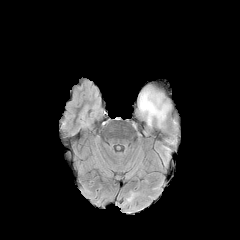
FLAIR MR image.
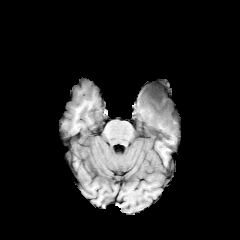
T1-weighted magnetic resonance of the same slice.
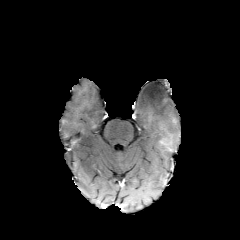
Post-contrast T1-weighted MRI of the same slice.
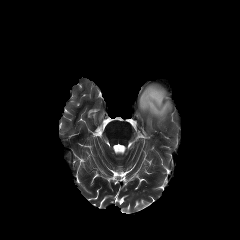
Same slice, T2-weighted MR.
The necrotic tumor core is at box(145, 86, 164, 105). The peritumoral edema lies within box(138, 85, 171, 127).